FLAIR MR.
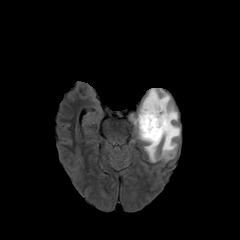
T1-weighted MR.
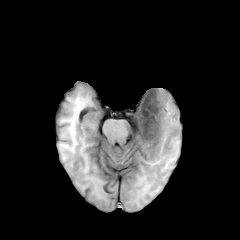
Post-contrast T1-weighted MRI.
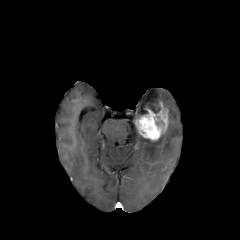
T2-weighted MR.
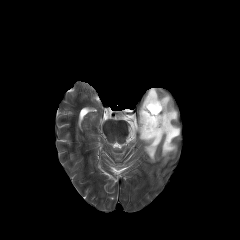
Axial view
<segmentation>
  <necrotic_tumor_core>(left=148, top=101, right=160, bottom=113)</necrotic_tumor_core>
  <enhancing_tumor>(left=133, top=100, right=168, bottom=141)</enhancing_tumor>
  <peritumoral_edema>(left=130, top=88, right=180, bottom=162)</peritumoral_edema>
</segmentation>